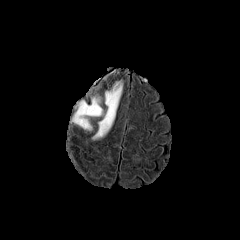
FLAIR MRI.
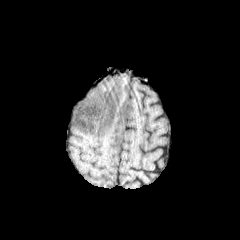
T1-weighted MR.
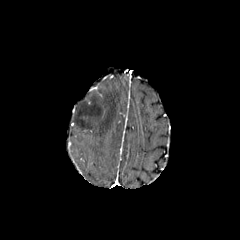
Post-contrast T1-weighted MR image of the same slice.
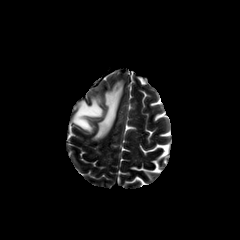
T2-weighted MR image.
The peritumoral edema lies within <box>70,78,123,140</box>.